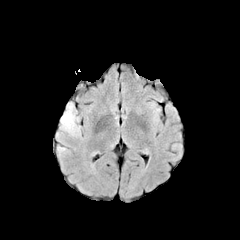
FLAIR magnetic resonance.
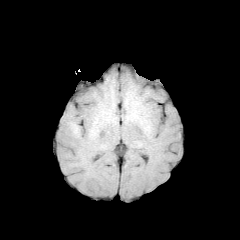
T1-weighted magnetic resonance.
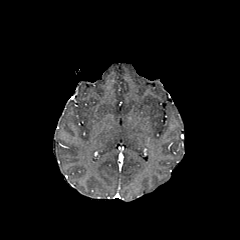
Same slice, post-contrast T1-weighted MR.
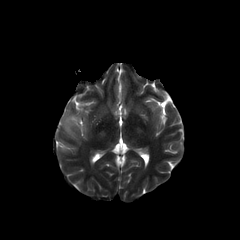
T2-weighted MR.
Image size 240x240
2 peritumoral edema regions appear at <box>56,101,81,145</box>, <box>58,146,67,153</box>.